FLAIR MR.
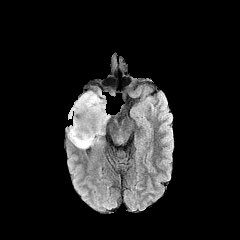
T1-weighted MRI.
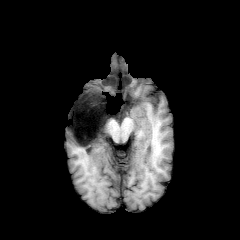
Post-contrast T1-weighted magnetic resonance.
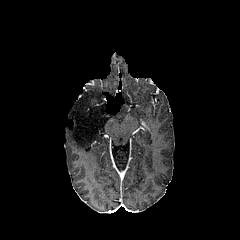
T2-weighted MRI.
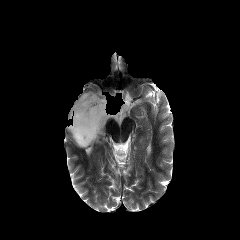
Brain | Axial plane
peritumoral edema — (68, 90, 110, 149)